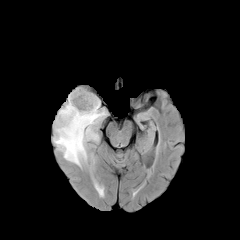
FLAIR MR image.
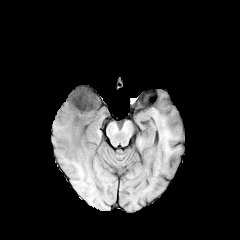
T1-weighted magnetic resonance.
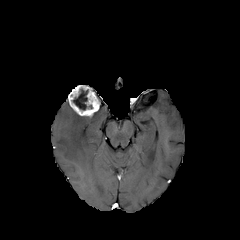
Post-contrast T1-weighted MR image.
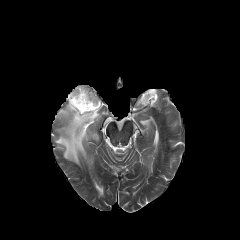
T2-weighted magnetic resonance of the same slice.
Axial view
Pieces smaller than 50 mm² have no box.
peritumoral_edema:
  - 53, 101, 107, 166
enhancing_tumor:
  - 67, 85, 100, 117
necrotic_tumor_core:
  - 73, 90, 87, 110